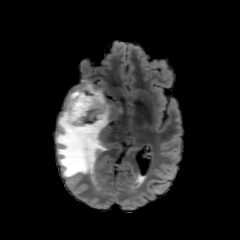
FLAIR MRI.
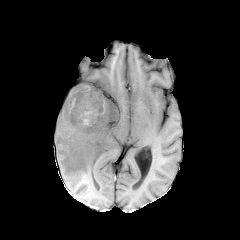
Same slice, T1-weighted MR image.
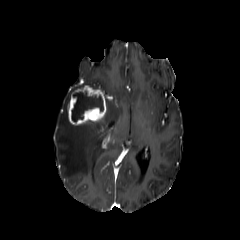
Post-contrast T1-weighted MR.
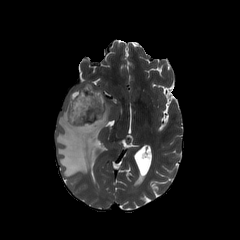
T2-weighted MR.
Axial plane | 240x240 px | Brain
{"peritumoral_edema": ["<bbox>75, 83, 108, 90</bbox>", "<bbox>56, 92, 121, 177</bbox>"], "enhancing_tumor": ["<bbox>67, 85, 106, 125</bbox>"], "necrotic_tumor_core": ["<bbox>72, 91, 103, 121</bbox>"]}